FLAIR MR image.
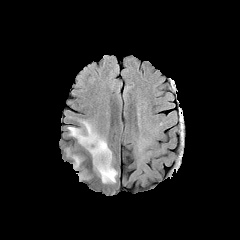
T1-weighted MR image.
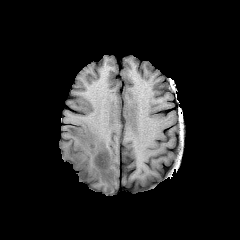
Post-contrast T1-weighted magnetic resonance.
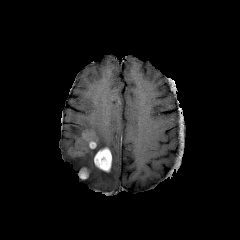
T2-weighted MR image.
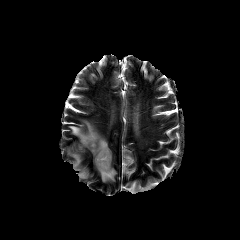
240x240 px, Brain, Axial plane
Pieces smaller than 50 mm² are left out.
enhancing_tumor:
  - box(82, 132, 96, 148)
  - box(94, 147, 111, 172)
  - box(78, 168, 88, 179)
peritumoral_edema:
  - box(66, 120, 117, 183)